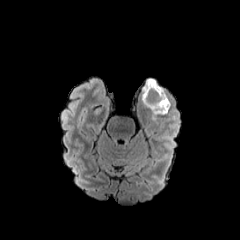
FLAIR MR image.
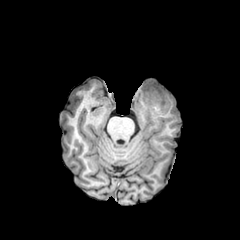
Same slice, T1-weighted MR.
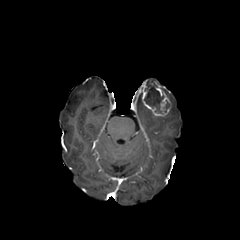
Same slice, post-contrast T1-weighted magnetic resonance.
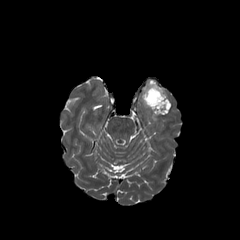
T2-weighted MRI.
Axial slice
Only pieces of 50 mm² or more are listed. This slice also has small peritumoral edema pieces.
The enhancing tumor is at box(141, 81, 170, 116). The largest necrotic tumor core region is at box(144, 83, 163, 112).